FLAIR MR.
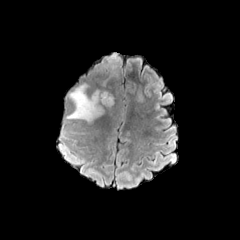
T1-weighted MRI.
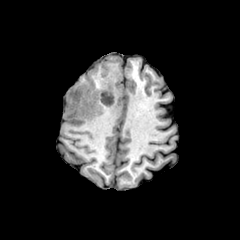
Post-contrast T1-weighted MRI.
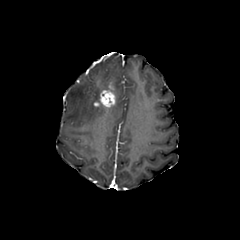
T2-weighted MR image.
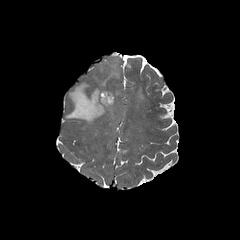
Brain, Image size 240x240
2 peritumoral edema regions are located at x1=66 y1=55 x2=118 y2=123, x1=137 y1=87 x2=143 y2=102. The enhancing tumor appears at x1=93 y1=85 x2=115 y2=107.